Brain, Slice index 111
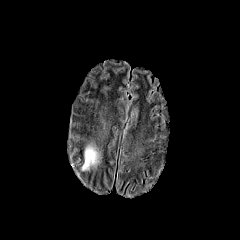
FLAIR MRI.
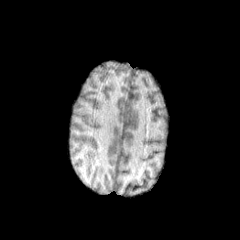
T1-weighted magnetic resonance.
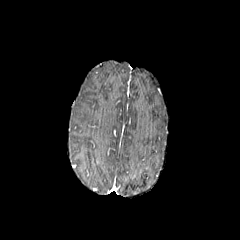
Post-contrast T1-weighted MR image.
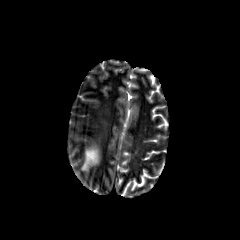
T2-weighted MR image.
The peritumoral edema is at 80,146,97,172.